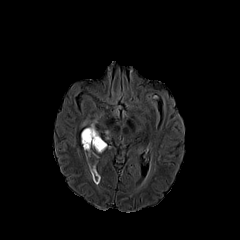
FLAIR MR image.
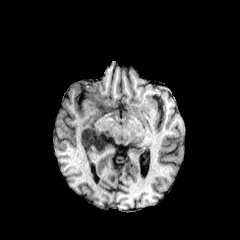
T1-weighted magnetic resonance of the same slice.
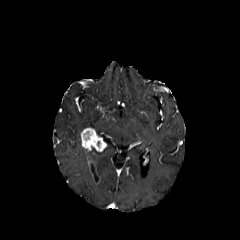
Post-contrast T1-weighted MR image of the same slice.
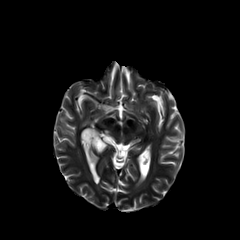
T2-weighted MR image of the same slice.
Brain
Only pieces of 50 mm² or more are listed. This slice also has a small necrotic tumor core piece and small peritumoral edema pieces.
enhancing_tumor:
  - {"x1": 81, "y1": 127, "x2": 106, "y2": 151}
  - {"x1": 86, "y1": 153, "x2": 100, "y2": 184}